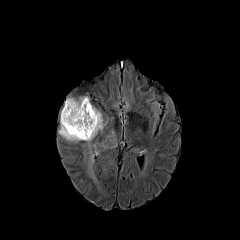
FLAIR MRI.
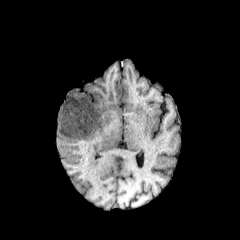
T1-weighted MR of the same slice.
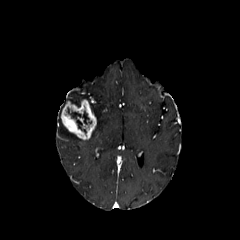
Post-contrast T1-weighted MRI.
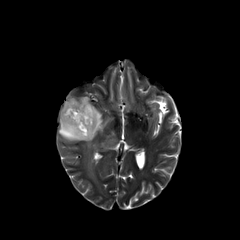
Same slice, T2-weighted magnetic resonance.
Brain.
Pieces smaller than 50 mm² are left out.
The enhancing tumor is bounded by (x1=61, y1=99, x2=96, y2=139). The largest necrotic tumor core region is at (x1=67, y1=108, x2=89, y2=133). The 3 largest peritumoral edema regions are located at (x1=66, y1=96, x2=89, y2=104), (x1=108, y1=131, x2=116, y2=147), (x1=58, y1=103, x2=107, y2=182).